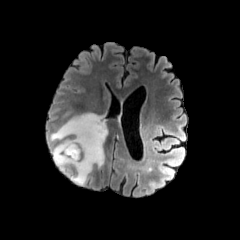
FLAIR MR.
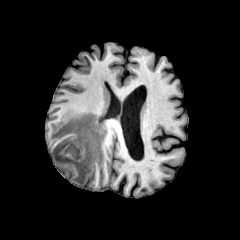
T1-weighted magnetic resonance of the same slice.
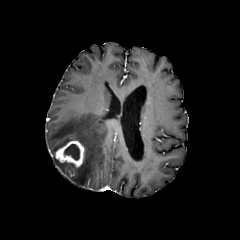
Post-contrast T1-weighted MR.
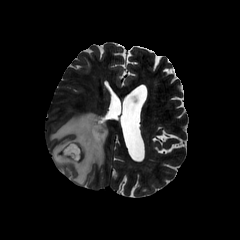
T2-weighted MR of the same slice.
Brain. Axial view.
- enhancing tumor: box(55, 141, 84, 167)
- peritumoral edema: box(50, 113, 107, 185)
- necrotic tumor core: box(64, 144, 79, 160)